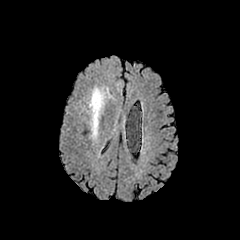
FLAIR MRI.
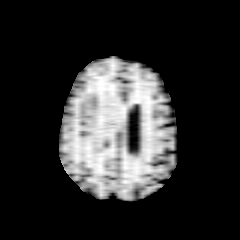
T1-weighted MR of the same slice.
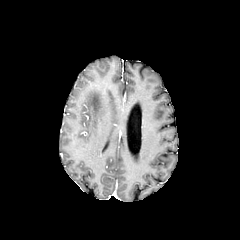
Post-contrast T1-weighted MR.
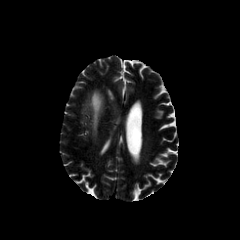
T2-weighted MR image.
240x240
peritumoral_edema:
  - (87,87,112,140)